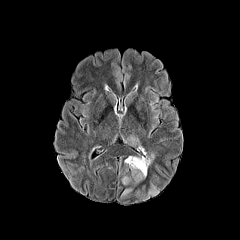
FLAIR MR.
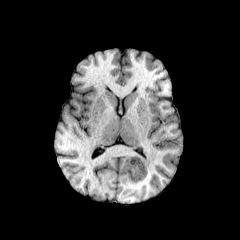
T1-weighted MR.
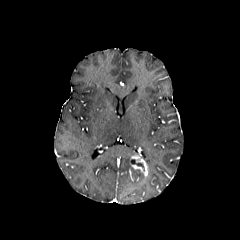
Same slice, post-contrast T1-weighted MRI.
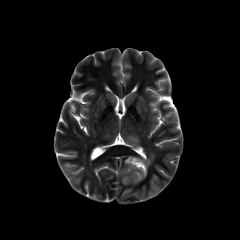
Same slice, T2-weighted MR image.
Brain; Axial view; Image size 240x240
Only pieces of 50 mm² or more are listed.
necrotic tumor core: [x1=131, y1=159, x2=144, y2=170] | enhancing tumor: [x1=130, y1=156, x2=147, y2=176] | peritumoral edema: [x1=122, y1=176, x2=129, y2=184], [x1=127, y1=136, x2=140, y2=146], [x1=135, y1=185, x2=157, y2=199], [x1=125, y1=156, x2=145, y2=180], [x1=143, y1=153, x2=154, y2=166]